FLAIR magnetic resonance.
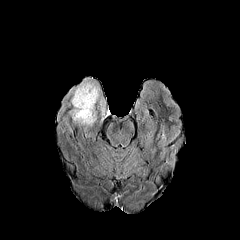
T1-weighted MR image.
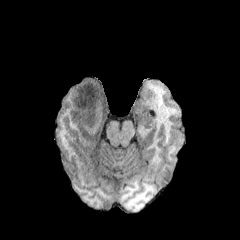
Post-contrast T1-weighted MRI.
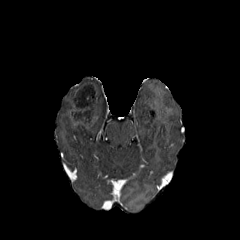
T2-weighted MR image.
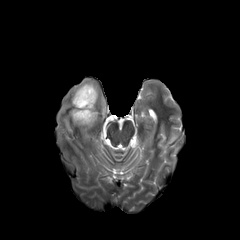
Brain
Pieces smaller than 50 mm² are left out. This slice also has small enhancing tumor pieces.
peritumoral edema at region(71, 78, 105, 121)
necrotic tumor core at region(74, 84, 95, 108); region(72, 110, 93, 126)